Head. Axial view.
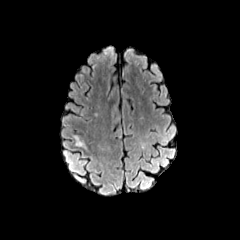
FLAIR MR image.
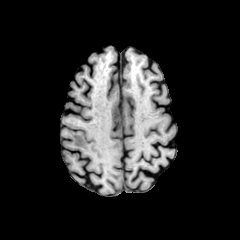
T1-weighted MR of the same slice.
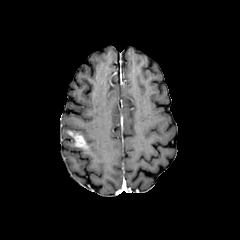
Post-contrast T1-weighted MRI.
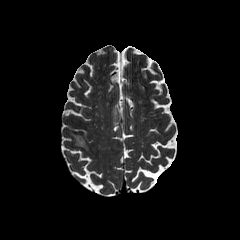
T2-weighted MR image.
<segmentation>
  <enhancing_tumor>rect(68, 131, 87, 148)</enhancing_tumor>
</segmentation>